FLAIR MRI.
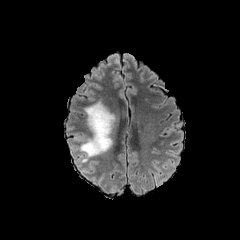
T1-weighted MR image.
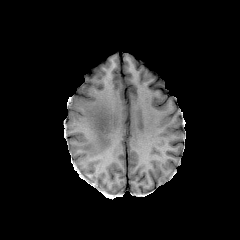
Post-contrast T1-weighted MR.
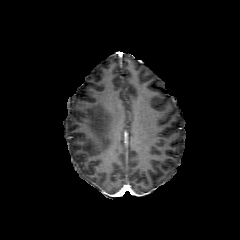
T2-weighted MR.
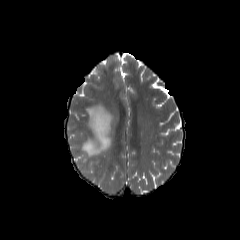
Head. 240x240.
peritumoral_edema:
  - bbox=[77, 101, 114, 162]